FLAIR MRI.
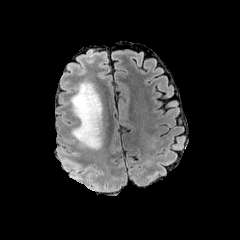
T1-weighted MR image.
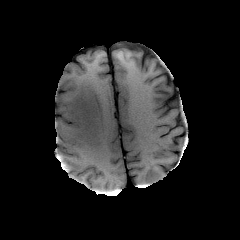
Post-contrast T1-weighted magnetic resonance.
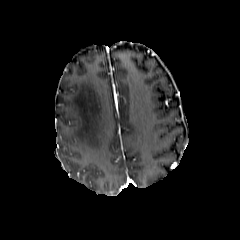
T2-weighted MRI.
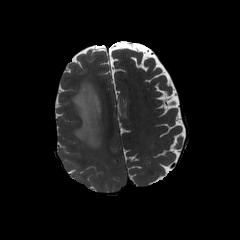
240x240. Axial view.
* peritumoral edema: [70, 81, 102, 149]